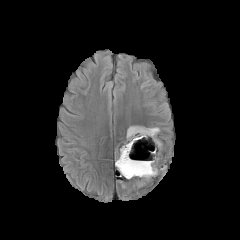
FLAIR MR image.
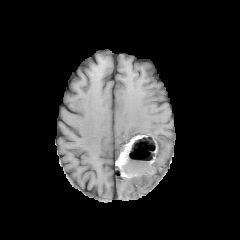
Same slice, T1-weighted MR.
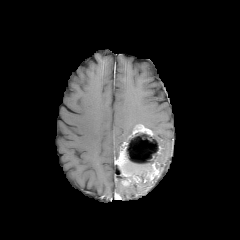
Post-contrast T1-weighted MRI.
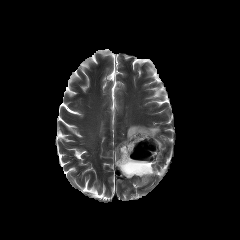
T2-weighted MR.
Axial plane
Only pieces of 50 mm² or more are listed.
The 2 largest enhancing tumor regions appear at [x1=127, y1=124, x2=153, y2=139], [x1=115, y1=141, x2=159, y2=186]. The 2 largest peritumoral edema regions are bounded by [x1=148, y1=127, x2=159, y2=136], [x1=126, y1=126, x2=134, y2=137]. The necrotic tumor core is at [x1=122, y1=133, x2=159, y2=183].